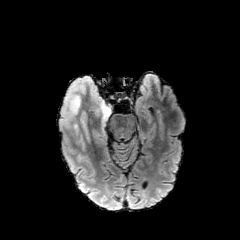
FLAIR MR.
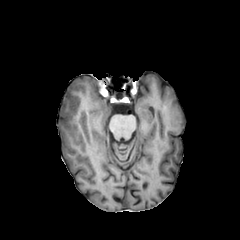
T1-weighted MR image.
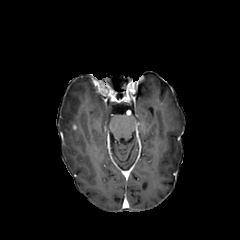
Post-contrast T1-weighted MR.
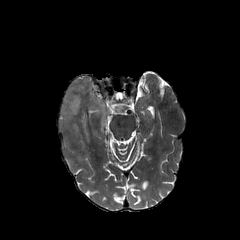
T2-weighted MR image.
Axial plane, Head
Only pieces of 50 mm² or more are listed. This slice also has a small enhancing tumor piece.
The peritumoral edema is located at rect(59, 75, 111, 148).